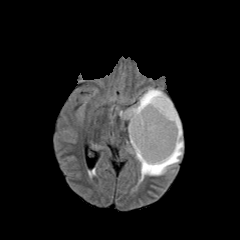
FLAIR magnetic resonance.
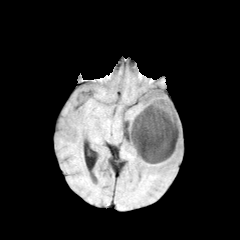
T1-weighted MR image.
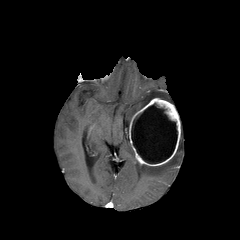
Same slice, post-contrast T1-weighted magnetic resonance.
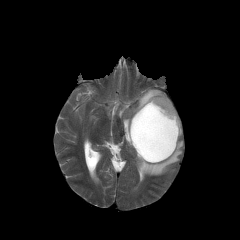
Same slice, T2-weighted magnetic resonance.
Axial plane. Brain.
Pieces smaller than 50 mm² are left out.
necrotic_tumor_core:
  - [131, 103, 177, 163]
enhancing_tumor:
  - [129, 97, 181, 166]
peritumoral_edema:
  - [140, 132, 183, 181]
  - [119, 88, 171, 124]